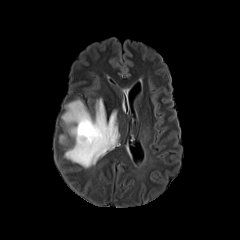
FLAIR MRI.
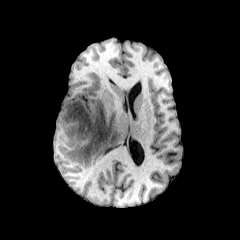
T1-weighted MR of the same slice.
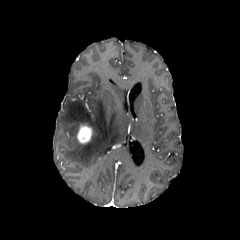
Same slice, post-contrast T1-weighted magnetic resonance.
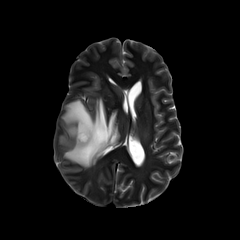
T2-weighted MRI of the same slice.
Axial view. Image size 240x240.
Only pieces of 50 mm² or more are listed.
<segmentation>
  <peritumoral_edema>[61, 98, 119, 168]</peritumoral_edema>
  <enhancing_tumor>[77, 124, 93, 143]</enhancing_tumor>
</segmentation>